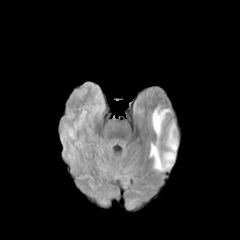
FLAIR MR image.
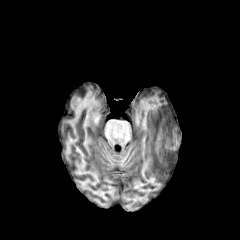
T1-weighted MRI.
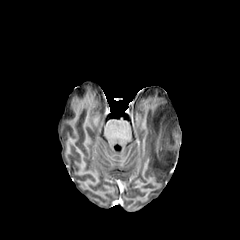
Post-contrast T1-weighted MR of the same slice.
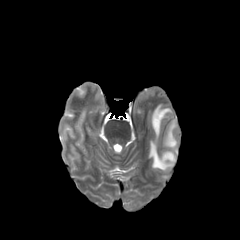
T2-weighted MR image.
Brain
{
  "peritumoral_edema": [
    "bbox(151, 105, 170, 136)",
    "bbox(149, 120, 177, 171)"
  ]
}